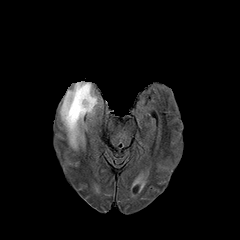
FLAIR MR image.
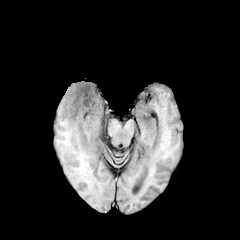
T1-weighted MRI of the same slice.
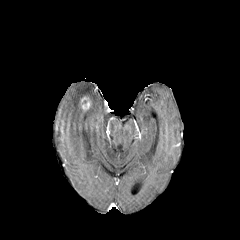
Post-contrast T1-weighted MRI.
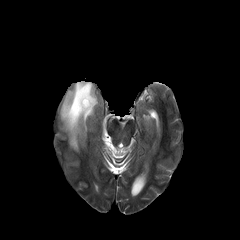
T2-weighted MRI of the same slice.
Brain, Axial view, 240x240 px
The enhancing tumor is bounded by bbox=[80, 96, 91, 110]. The peritumoral edema is at bbox=[60, 81, 99, 149].